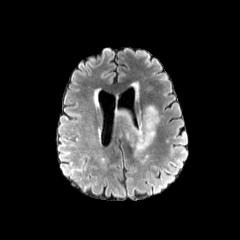
FLAIR MRI.
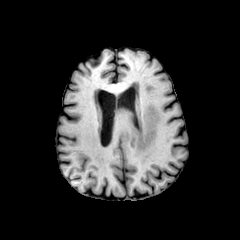
T1-weighted magnetic resonance.
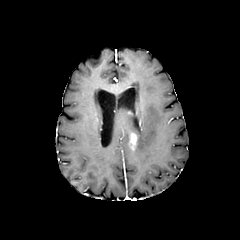
Same slice, post-contrast T1-weighted magnetic resonance.
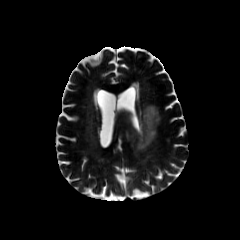
T2-weighted MR image of the same slice.
Brain. Image size 240x240.
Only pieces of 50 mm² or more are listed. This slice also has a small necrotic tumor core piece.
{
  "peritumoral_edema": [
    "bbox(117, 105, 159, 154)"
  ],
  "enhancing_tumor": [
    "bbox(129, 133, 136, 150)"
  ]
}